Image size 240x240 | Brain | Axial view
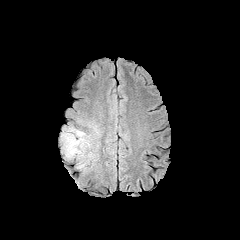
FLAIR MRI.
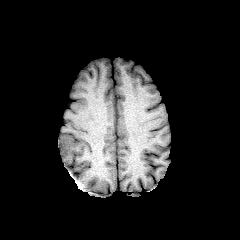
T1-weighted MR image of the same slice.
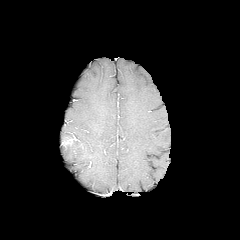
Same slice, post-contrast T1-weighted magnetic resonance.
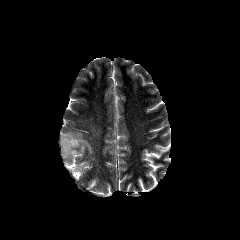
Same slice, T2-weighted MR.
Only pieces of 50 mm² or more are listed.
Findings:
* peritumoral edema: (x1=60, y1=127, x2=94, y2=173)
* enhancing tumor: (x1=62, y1=137, x2=76, y2=146)